Slice 93/155; Brain
FLAIR MRI.
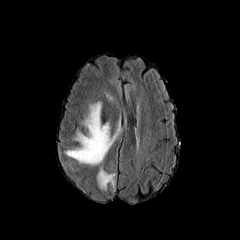
T1-weighted MR image.
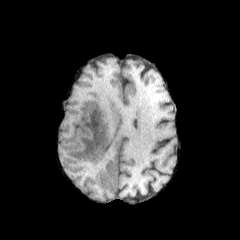
Post-contrast T1-weighted MR.
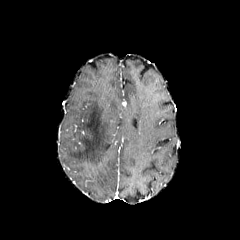
T2-weighted MRI.
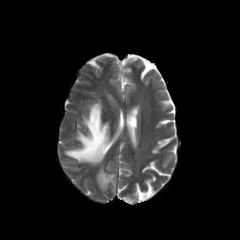
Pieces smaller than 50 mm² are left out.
peritumoral_edema:
  - bbox(96, 166, 116, 190)
  - bbox(63, 101, 122, 165)